FLAIR MRI.
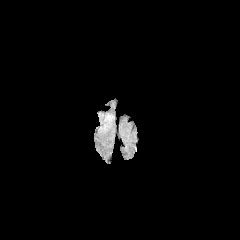
T1-weighted MR.
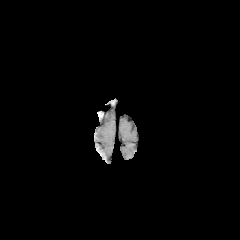
Post-contrast T1-weighted magnetic resonance.
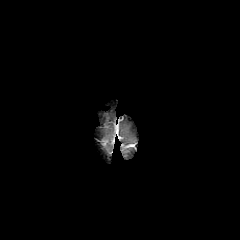
T2-weighted MR image.
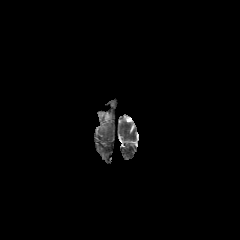
Brain.
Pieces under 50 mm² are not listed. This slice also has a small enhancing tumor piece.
The peritumoral edema is located at (98,113,111,129).